FLAIR magnetic resonance.
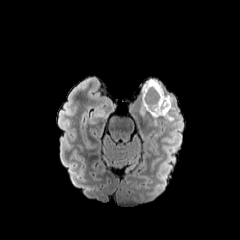
T1-weighted MR.
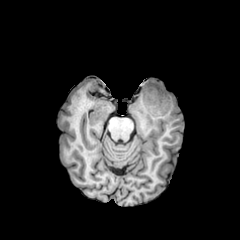
Post-contrast T1-weighted MRI.
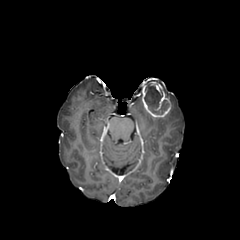
T2-weighted magnetic resonance.
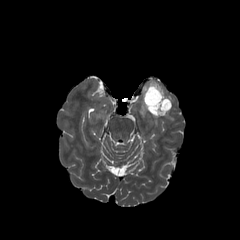
240x240 px, Axial plane, Brain
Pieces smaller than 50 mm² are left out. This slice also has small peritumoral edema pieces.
necrotic tumor core: [144,84,168,114] | enhancing tumor: [142,79,171,117]